FLAIR MRI.
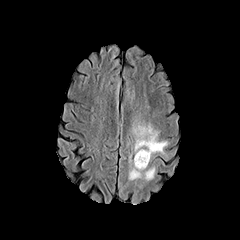
T1-weighted magnetic resonance.
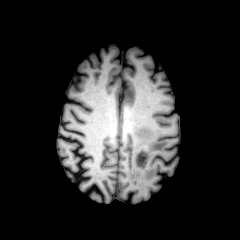
Post-contrast T1-weighted MR.
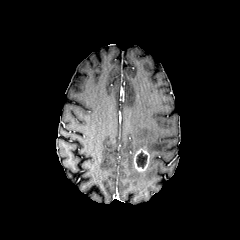
T2-weighted MR image.
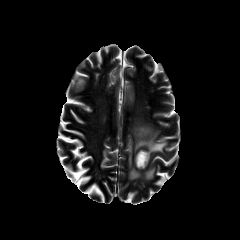
Head
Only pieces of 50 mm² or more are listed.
peritumoral edema — {"x1": 134, "y1": 125, "x2": 169, "y2": 158}, {"x1": 128, "y1": 165, "x2": 156, "y2": 180}
necrotic tumor core — {"x1": 136, "y1": 151, "x2": 147, "y2": 168}
enhancing tumor — {"x1": 133, "y1": 149, "x2": 149, "y2": 171}